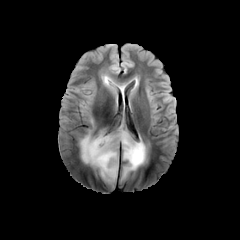
FLAIR magnetic resonance.
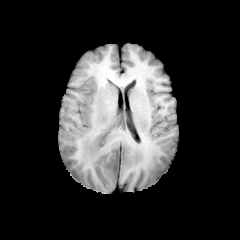
T1-weighted MRI.
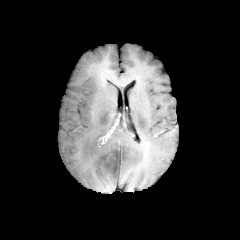
Post-contrast T1-weighted MR image of the same slice.
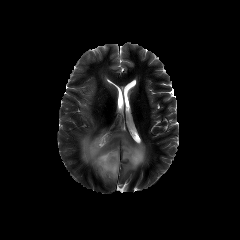
T2-weighted MRI.
Axial view
The peritumoral edema appears at x1=80, y1=131, x2=146, y2=181. The necrotic tumor core is at x1=110, y1=154, x2=117, y2=170.